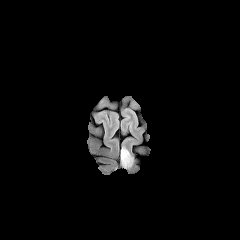
FLAIR MRI.
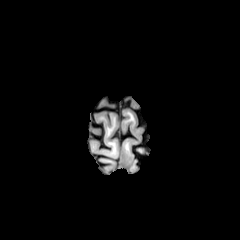
T1-weighted MRI.
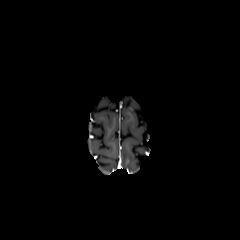
Same slice, post-contrast T1-weighted magnetic resonance.
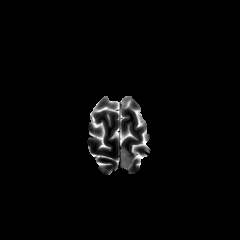
Same slice, T2-weighted MRI.
Image size 240x240; Head
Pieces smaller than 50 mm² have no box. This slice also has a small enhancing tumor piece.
peritumoral edema = l=121, t=145, r=134, b=168